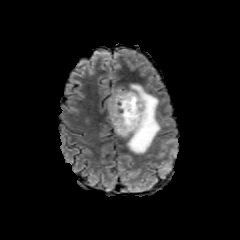
FLAIR MR image.
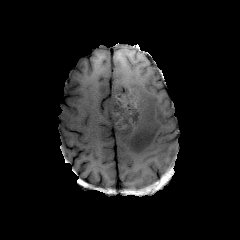
T1-weighted MR image of the same slice.
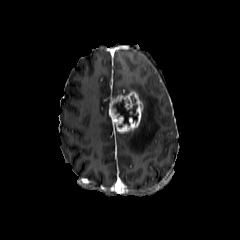
Post-contrast T1-weighted MRI of the same slice.
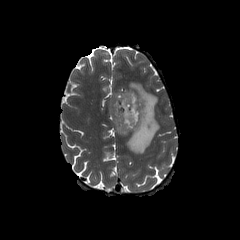
T2-weighted MRI of the same slice.
Head
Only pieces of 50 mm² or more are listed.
Segmented structures:
• enhancing tumor: (109, 91, 143, 133)
• necrotic tumor core: (113, 96, 137, 125)
• peritumoral edema: (112, 84, 160, 154)